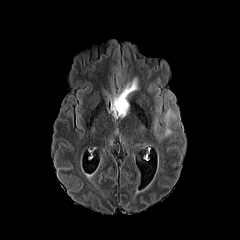
FLAIR MR image.
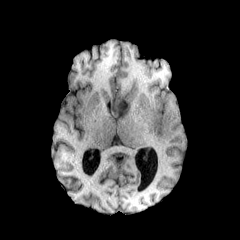
Same slice, T1-weighted MR image.
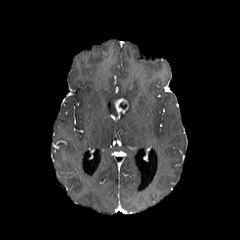
Post-contrast T1-weighted MR.
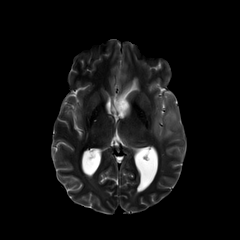
T2-weighted MRI.
Brain.
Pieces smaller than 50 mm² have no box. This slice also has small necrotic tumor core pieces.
enhancing tumor: <bbox>115, 98, 129, 118</bbox> | peritumoral edema: <bbox>154, 107, 178, 136</bbox>, <bbox>111, 78, 137, 116</bbox>